FLAIR MRI.
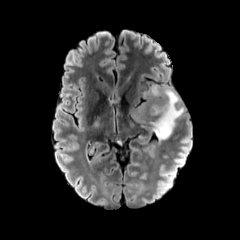
T1-weighted MR.
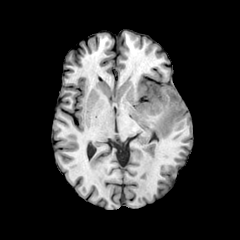
Post-contrast T1-weighted MR image.
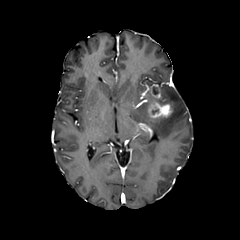
T2-weighted MRI.
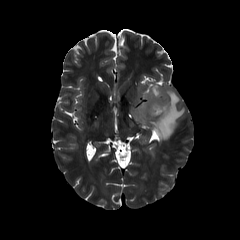
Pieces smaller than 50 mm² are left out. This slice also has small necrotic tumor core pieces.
peritumoral_edema:
  - <bbox>149, 85, 184, 139</bbox>
  - <bbox>134, 102, 148, 119</bbox>
enhancing_tumor:
  - <bbox>141, 85, 172, 117</bbox>